Axial view, Brain, Image width 240 mm, 1.00 mm slice spacing, Image size 240x240
FLAIR MR image.
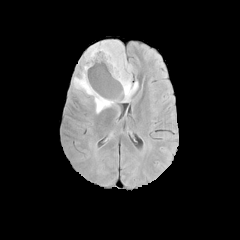
T1-weighted MR image.
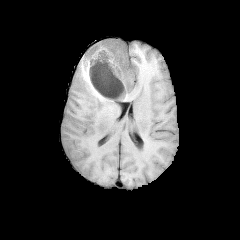
Post-contrast T1-weighted MR.
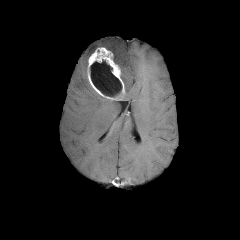
T2-weighted MR.
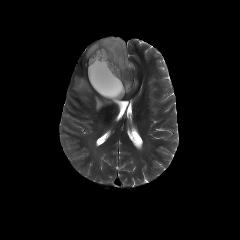
Findings:
• necrotic tumor core: (left=90, top=60, right=122, bottom=96)
• enhancing tumor: (left=87, top=47, right=125, bottom=100)
• peritumoral edema: (left=84, top=40, right=137, bottom=98), (left=74, top=65, right=115, bottom=114)